Image size 240x240 | Head
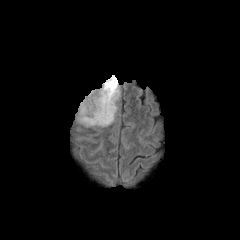
FLAIR MR.
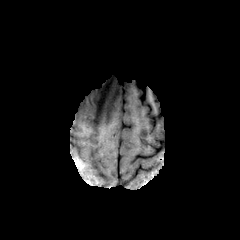
T1-weighted magnetic resonance of the same slice.
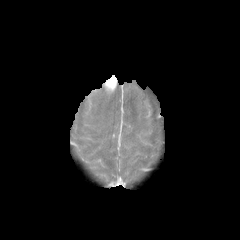
Post-contrast T1-weighted magnetic resonance.
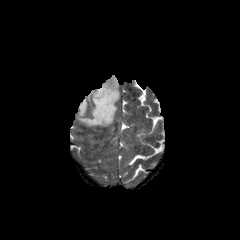
T2-weighted MRI.
{
  "peritumoral_edema": [
    "x1=77, y1=80, x2=119, y2=126"
  ],
  "enhancing_tumor": [
    "x1=104, y1=75, x2=116, y2=91"
  ]
}